Head; Image covers 240 mm x 240 mm
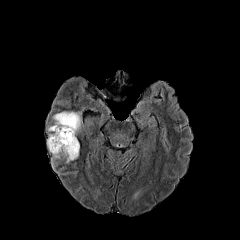
FLAIR MR image.
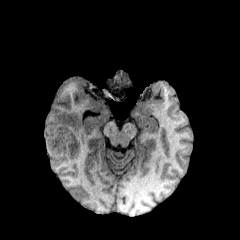
T1-weighted magnetic resonance of the same slice.
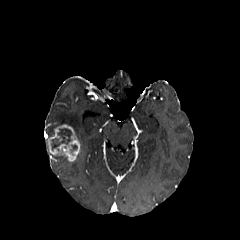
Post-contrast T1-weighted MR.
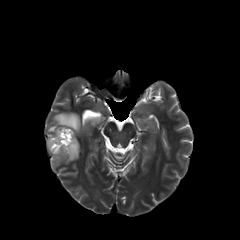
T2-weighted MR of the same slice.
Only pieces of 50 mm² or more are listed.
enhancing tumor — <bbox>47, 124, 80, 161</bbox>
necrotic tumor core — <bbox>51, 128, 71, 150</bbox>
peritumoral edema — <bbox>47, 111, 83, 135</bbox>, <bbox>53, 156, 69, 163</bbox>